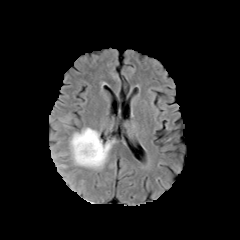
FLAIR MRI.
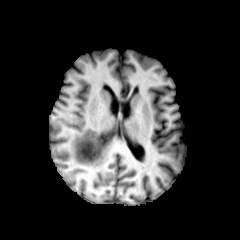
T1-weighted magnetic resonance of the same slice.
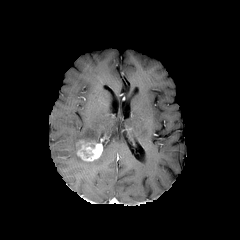
Post-contrast T1-weighted MR image of the same slice.
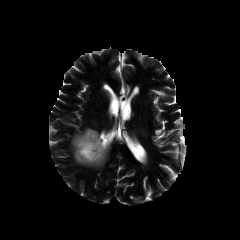
Same slice, T2-weighted MRI.
Image size 240x240, Axial view
<segmentation>
  <enhancing_tumor>[76,140,102,161]</enhancing_tumor>
  <peritumoral_edema>[70,128,113,168]</peritumoral_edema>
</segmentation>